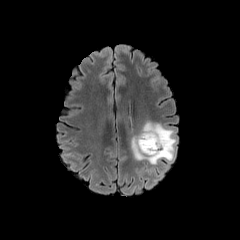
FLAIR MR.
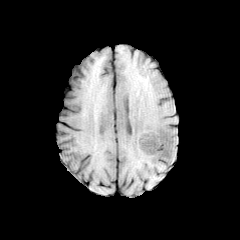
T1-weighted MRI.
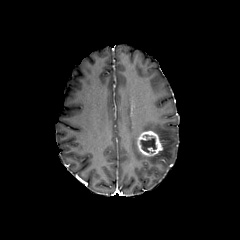
Post-contrast T1-weighted MR of the same slice.
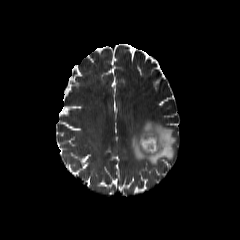
Same slice, T2-weighted MR.
Head. Axial plane.
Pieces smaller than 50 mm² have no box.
enhancing tumor — [x1=136, y1=131, x2=163, y2=156]
peritumoral edema — [x1=130, y1=122, x2=176, y2=165]
necrotic tumor core — [x1=140, y1=138, x2=156, y2=152]